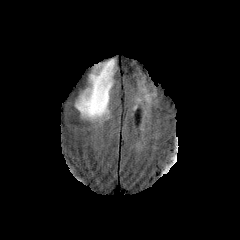
FLAIR MRI.
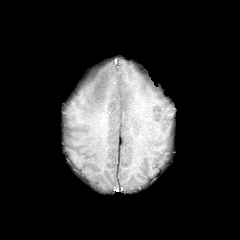
Same slice, T1-weighted MR image.
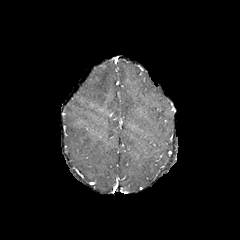
Post-contrast T1-weighted MR image.
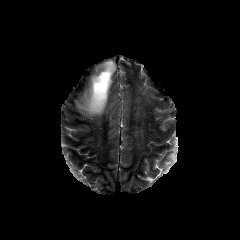
T2-weighted magnetic resonance of the same slice.
Brain
The peritumoral edema is at <bbox>76, 61, 114, 119</bbox>.